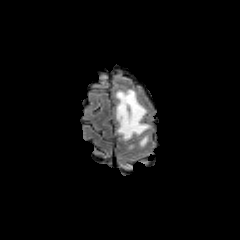
FLAIR MRI.
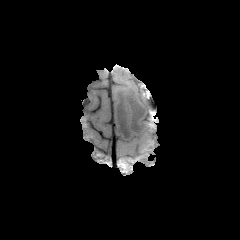
T1-weighted magnetic resonance.
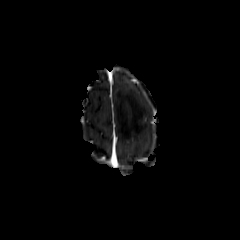
Same slice, post-contrast T1-weighted MR.
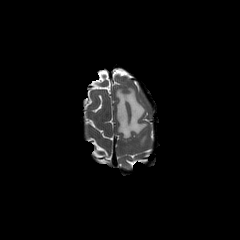
T2-weighted magnetic resonance.
Brain.
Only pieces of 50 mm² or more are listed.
Segmented structures:
* peritumoral edema: <box>115,89,149,140</box>, <box>139,135,147,146</box>